Head; Image width 240 mm, 1.00 mm slice spacing; 240x240
FLAIR MR.
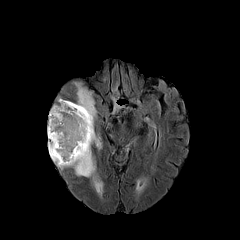
T1-weighted MR.
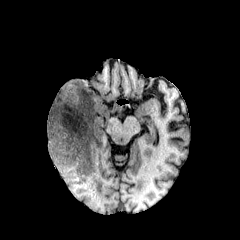
Post-contrast T1-weighted MR image.
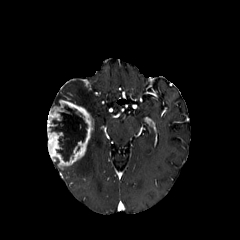
T2-weighted MR image.
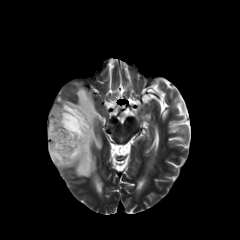
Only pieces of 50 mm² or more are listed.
<segmentation>
  <enhancing_tumor>[x1=47, y1=99, x2=94, y2=168]</enhancing_tumor>
  <necrotic_tumor_core>[x1=50, y1=105, x2=87, y2=161]</necrotic_tumor_core>
  <peritumoral_edema>[x1=74, y1=82, x2=97, y2=120], [x1=70, y1=130, x2=103, y2=195]</peritumoral_edema>
</segmentation>